Axial view | Brain | Image width 240 mm, 1.00 mm slice spacing
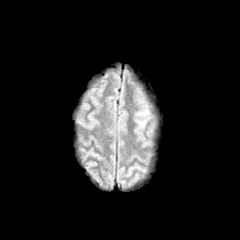
FLAIR MR.
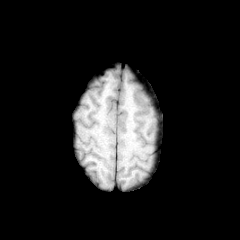
Same slice, T1-weighted MR image.
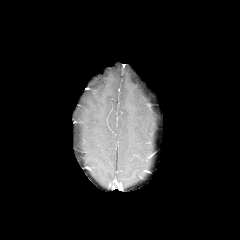
Post-contrast T1-weighted MR image.
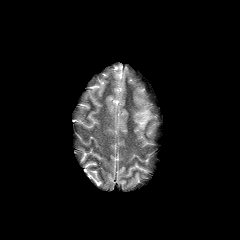
T2-weighted MRI.
The peritumoral edema is located at [140, 111, 148, 125].